Axial slice. Image width 240 mm, 1.00 mm slice spacing.
FLAIR MRI.
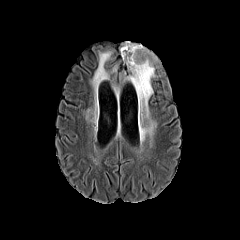
T1-weighted MR.
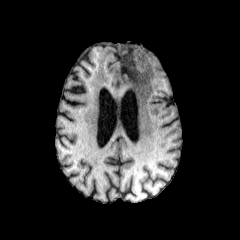
Post-contrast T1-weighted MR.
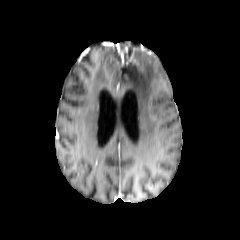
T2-weighted magnetic resonance.
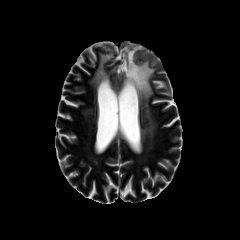
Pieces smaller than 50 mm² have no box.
peritumoral edema at 91,51,111,91; 120,42,156,139
enhancing tumor at 126,48,135,64